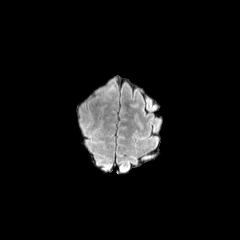
FLAIR MR.
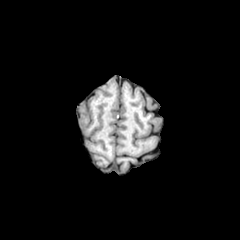
T1-weighted magnetic resonance.
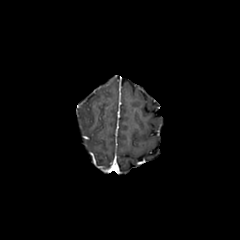
Post-contrast T1-weighted MRI.
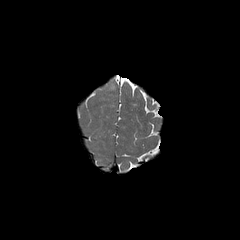
T2-weighted magnetic resonance.
240x240
The peritumoral edema lies within bbox(108, 83, 116, 91).